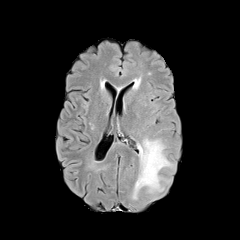
FLAIR MR.
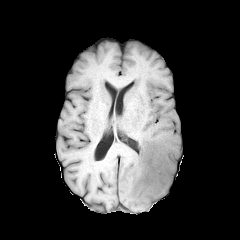
T1-weighted magnetic resonance.
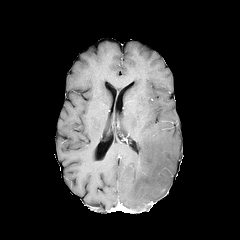
Post-contrast T1-weighted MRI.
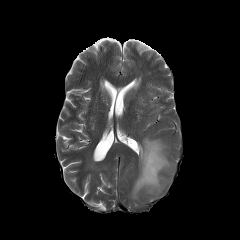
T2-weighted magnetic resonance.
Axial plane
peritumoral_edema:
  - {"x1": 132, "y1": 137, "x2": 173, "y2": 199}